FLAIR MR.
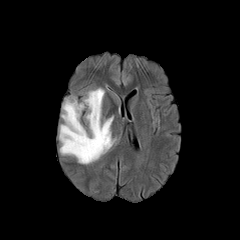
T1-weighted MRI.
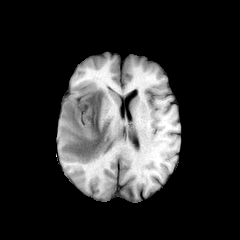
Post-contrast T1-weighted MRI.
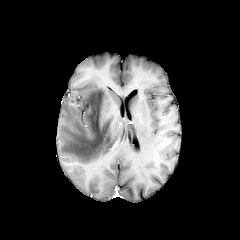
T2-weighted MR image.
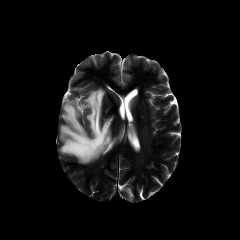
Image size 240x240.
The peritumoral edema appears at l=59, t=88, r=116, b=164.